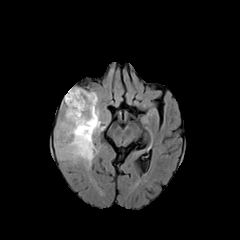
FLAIR MR.
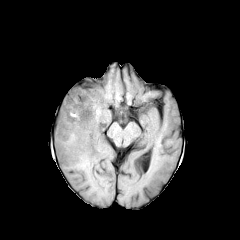
Same slice, T1-weighted magnetic resonance.
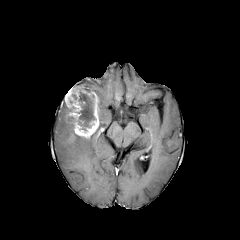
Post-contrast T1-weighted magnetic resonance.
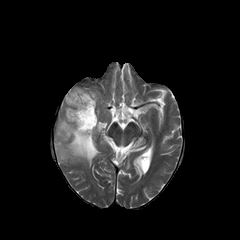
T2-weighted MRI of the same slice.
Head; Axial slice
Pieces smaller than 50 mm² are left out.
The enhancing tumor lies within box(65, 87, 99, 138). The largest necrotic tumor core region is bounded by box(78, 92, 94, 122). The peritumoral edema appears at box(55, 107, 104, 165).